FLAIR MR.
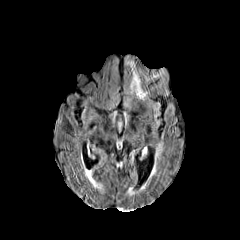
T1-weighted MR.
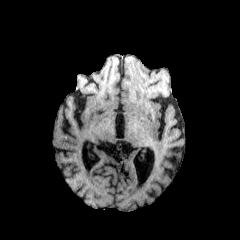
Post-contrast T1-weighted MR image.
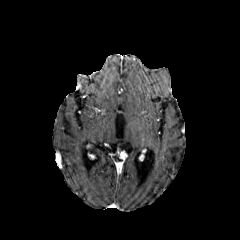
T2-weighted MR.
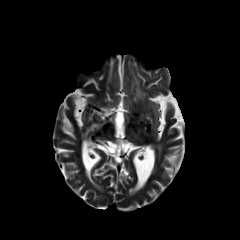
Head.
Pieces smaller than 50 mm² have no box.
peritumoral edema: bounding box x1=128, y1=62, x2=146, y2=99